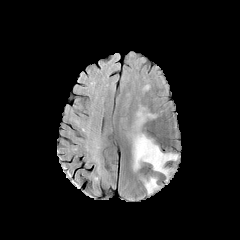
FLAIR magnetic resonance.
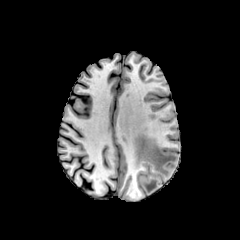
T1-weighted MR image.
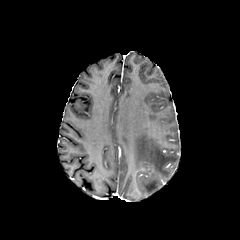
Post-contrast T1-weighted magnetic resonance of the same slice.
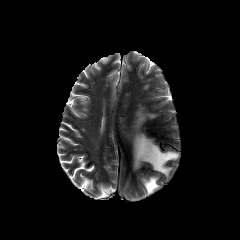
T2-weighted MRI.
Axial slice
<segmentation>
  <peritumoral_edema>rect(132, 107, 178, 177); rect(142, 177, 158, 193)</peritumoral_edema>
</segmentation>